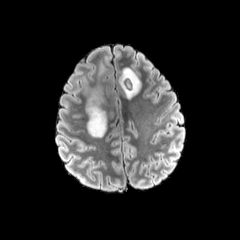
FLAIR MR image.
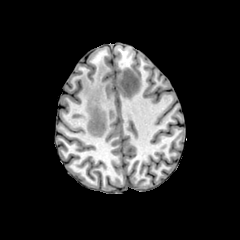
T1-weighted magnetic resonance.
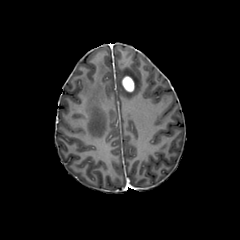
Post-contrast T1-weighted MR.
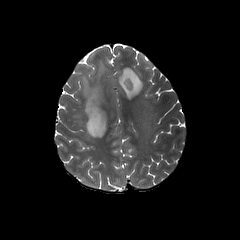
Same slice, T2-weighted magnetic resonance.
Axial plane.
{"enhancing_tumor": ["x1=121 y1=76 x2=134 y2=92"], "peritumoral_edema": ["x1=82 y1=59 x2=108 y2=137", "x1=119 y1=65 x2=142 y2=98"], "necrotic_tumor_core": ["x1=125 y1=78 x2=132 y2=90"]}